FLAIR MR image.
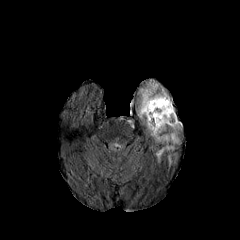
T1-weighted MR image.
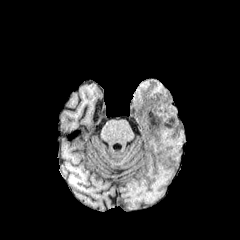
Post-contrast T1-weighted magnetic resonance.
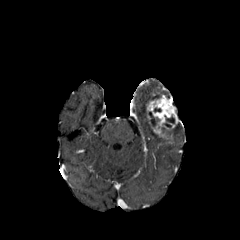
T2-weighted MR.
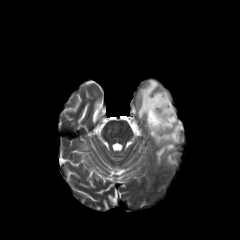
Axial plane; Head
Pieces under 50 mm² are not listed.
The enhancing tumor is located at bbox=[146, 95, 179, 138]. The 2 largest peritumoral edema regions are located at bbox=[145, 119, 181, 162]; bbox=[138, 79, 168, 118]. The 2 largest necrotic tumor core regions are located at bbox=[148, 111, 160, 126]; bbox=[163, 114, 174, 127].